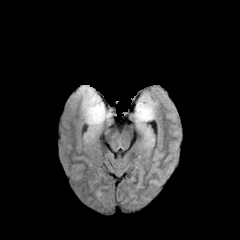
FLAIR MR image.
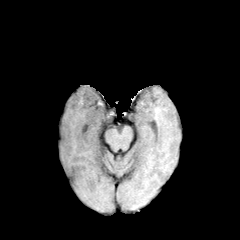
T1-weighted MR image.
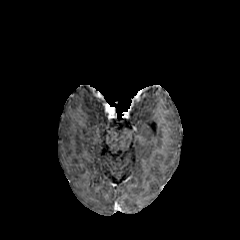
Post-contrast T1-weighted MR of the same slice.
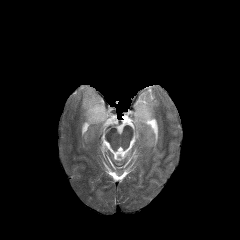
T2-weighted MR of the same slice.
Head; 240x240
peritumoral edema = bbox=[75, 85, 110, 140]; bbox=[134, 95, 156, 141]